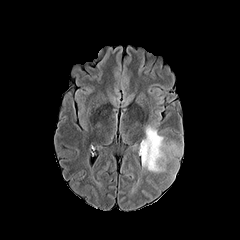
FLAIR MRI.
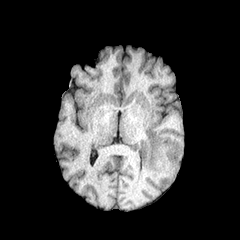
T1-weighted MR image.
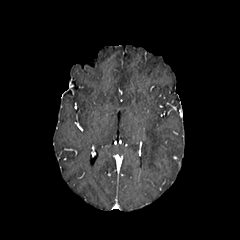
Same slice, post-contrast T1-weighted magnetic resonance.
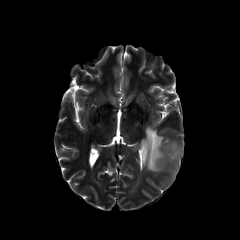
T2-weighted MR.
Head | 240x240
Annotated regions:
• peritumoral edema: {"x1": 141, "y1": 125, "x2": 182, "y2": 172}